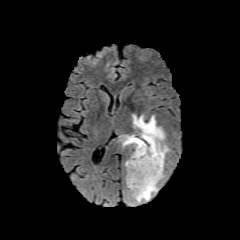
FLAIR MR image.
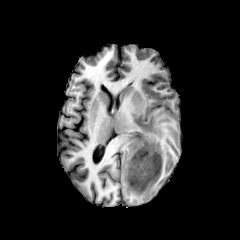
T1-weighted MR image of the same slice.
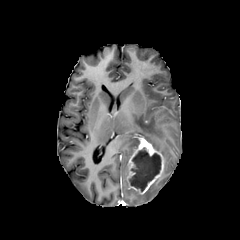
Post-contrast T1-weighted MR image of the same slice.
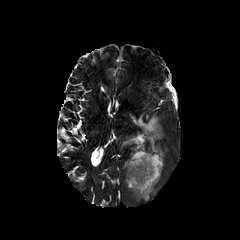
T2-weighted MR image.
Axial slice
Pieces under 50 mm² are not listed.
{"peritumoral_edema": ["(x1=130, y1=171, x2=163, y2=202)", "(x1=132, y1=114, x2=169, y2=159)", "(x1=120, y1=135, x2=139, y2=148)"], "necrotic_tumor_core": ["(x1=129, y1=148, x2=161, y2=191)"], "enhancing_tumor": ["(x1=126, y1=137, x2=164, y2=194)"]}